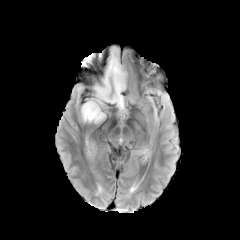
FLAIR MR.
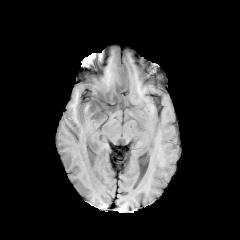
T1-weighted magnetic resonance.
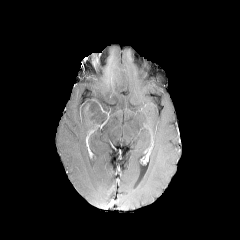
Same slice, post-contrast T1-weighted MRI.
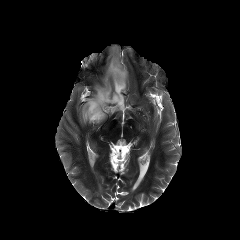
T2-weighted magnetic resonance.
Head
Findings:
• peritumoral edema: (81,44,127,123)